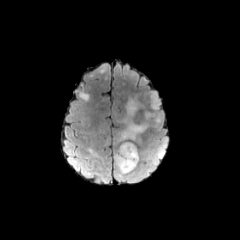
FLAIR MR image.
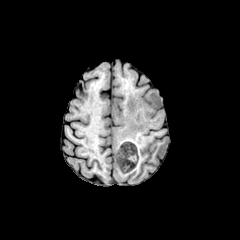
T1-weighted magnetic resonance.
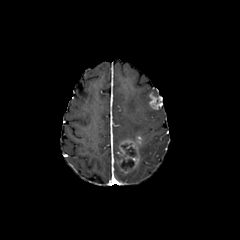
Post-contrast T1-weighted MRI.
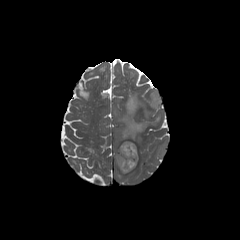
T2-weighted MR image.
Brain | Axial plane | Image size 240x240
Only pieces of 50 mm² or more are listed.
enhancing_tumor:
  - (116, 136, 141, 173)
  - (149, 92, 162, 109)
peritumoral_edema:
  - (120, 98, 147, 141)
  - (114, 153, 140, 182)
  - (156, 143, 165, 157)
necrotic_tumor_core:
  - (121, 143, 136, 156)
  - (120, 155, 134, 170)